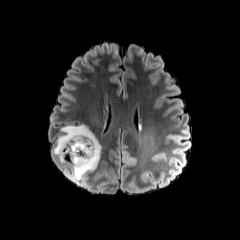
FLAIR magnetic resonance.
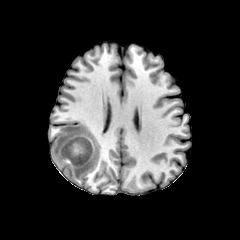
T1-weighted magnetic resonance.
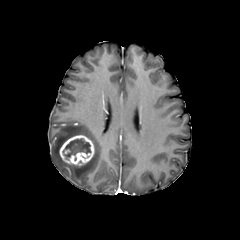
Same slice, post-contrast T1-weighted magnetic resonance.
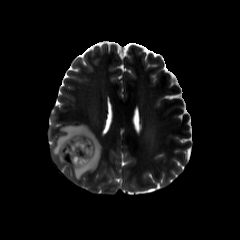
T2-weighted MR of the same slice.
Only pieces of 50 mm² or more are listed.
The enhancing tumor appears at {"x1": 59, "y1": 135, "x2": 94, "y2": 166}. The largest necrotic tumor core region is bounded by {"x1": 63, "y1": 138, "x2": 91, "y2": 157}. The peritumoral edema is bounded by {"x1": 52, "y1": 124, "x2": 101, "y2": 180}.